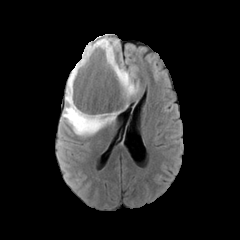
FLAIR MRI.
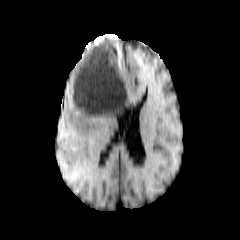
T1-weighted MRI.
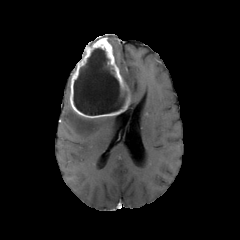
Post-contrast T1-weighted MR.
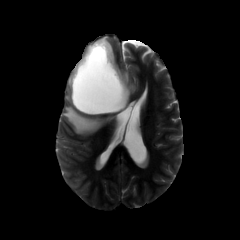
Same slice, T2-weighted MR.
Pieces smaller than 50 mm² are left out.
enhancing_tumor:
  - (69, 37, 130, 118)
necrotic_tumor_core:
  - (73, 48, 126, 115)
peritumoral_edema:
  - (118, 64, 138, 95)
  - (108, 37, 119, 50)
  - (62, 75, 115, 135)